FLAIR MRI.
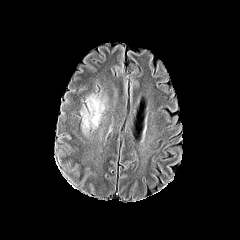
T1-weighted MR image.
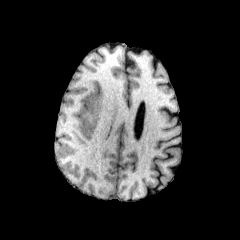
Post-contrast T1-weighted MR.
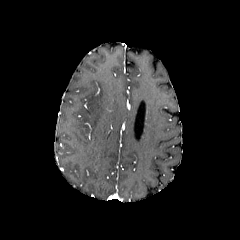
T2-weighted MR image.
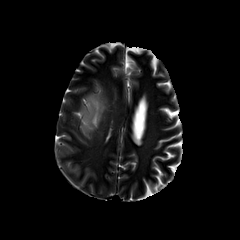
Axial view. Head.
Annotated regions:
* peritumoral edema: (81, 95, 105, 131)